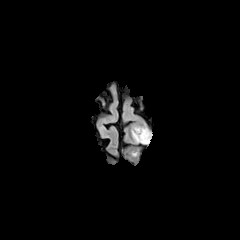
FLAIR MR image.
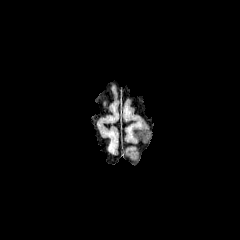
T1-weighted MRI of the same slice.
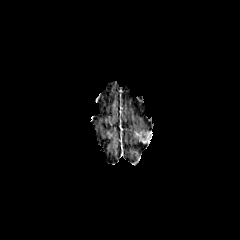
Same slice, post-contrast T1-weighted MR.
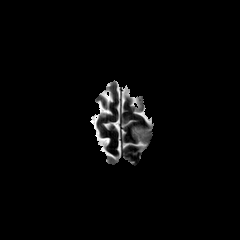
T2-weighted MR image of the same slice.
Axial plane.
enhancing tumor at left=134, top=129, right=152, bottom=143
peritumoral edema at left=131, top=125, right=148, bottom=142